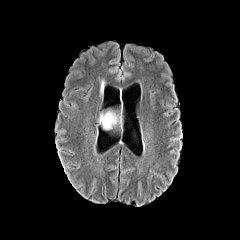
FLAIR MRI.
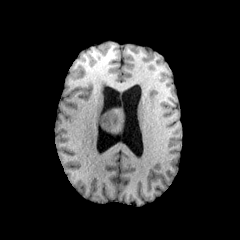
T1-weighted MR image.
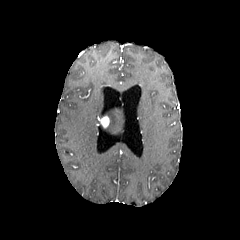
Same slice, post-contrast T1-weighted MR image.
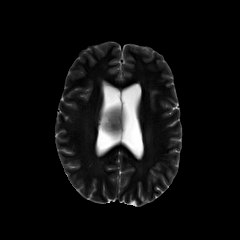
T2-weighted magnetic resonance.
Brain.
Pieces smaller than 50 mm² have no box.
<segmentation>
  <enhancing_tumor>(99, 116, 109, 127)</enhancing_tumor>
  <peritumoral_edema>(104, 112, 121, 128)</peritumoral_edema>
</segmentation>